Slice index 124
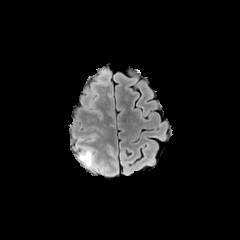
FLAIR MR image.
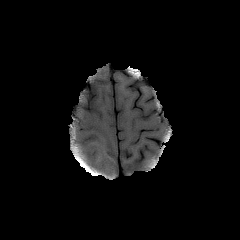
T1-weighted MR.
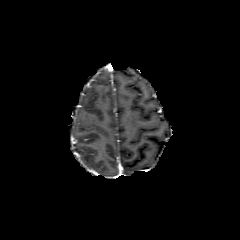
Post-contrast T1-weighted magnetic resonance.
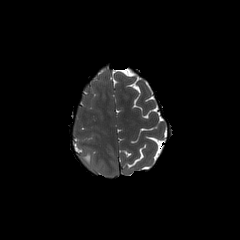
Same slice, T2-weighted MR.
<segmentation>
  <peritumoral_edema>region(79, 149, 93, 168)</peritumoral_edema>
</segmentation>